Brain
FLAIR MRI.
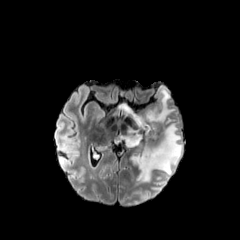
T1-weighted MR image.
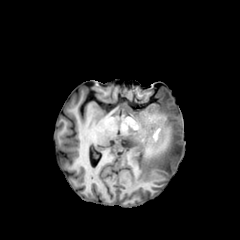
Post-contrast T1-weighted MR image.
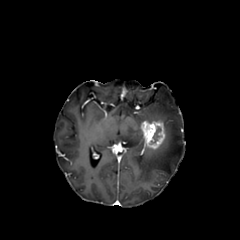
T2-weighted magnetic resonance.
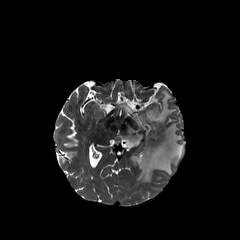
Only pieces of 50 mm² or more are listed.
The largest peritumoral edema region is bounded by <box>122,87,183,182</box>. The enhancing tumor is at <box>141,120,166,152</box>. The necrotic tumor core appears at <box>151,127,161,142</box>.